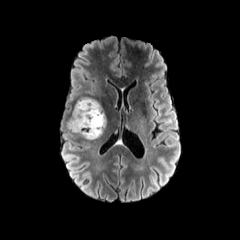
FLAIR magnetic resonance.
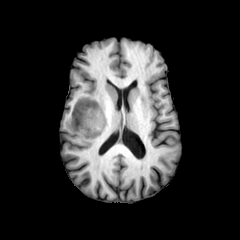
T1-weighted MR image.
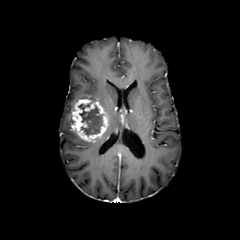
Same slice, post-contrast T1-weighted MR.
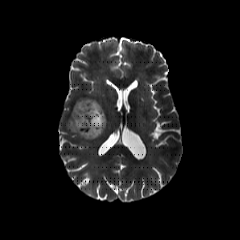
T2-weighted magnetic resonance of the same slice.
Head, Image size 240x240
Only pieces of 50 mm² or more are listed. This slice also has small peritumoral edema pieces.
The necrotic tumor core is at 78:103:102:135. The enhancing tumor lies within 71:98:107:142.